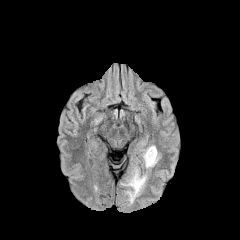
FLAIR magnetic resonance.
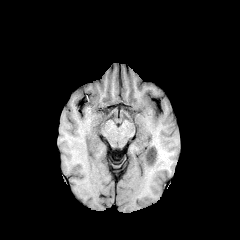
Same slice, T1-weighted MR image.
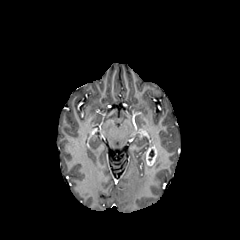
Post-contrast T1-weighted magnetic resonance.
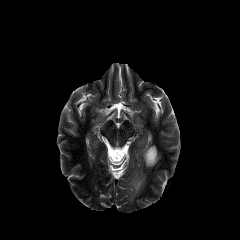
T2-weighted MRI of the same slice.
Image size 240x240
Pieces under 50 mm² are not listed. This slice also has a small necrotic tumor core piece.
The enhancing tumor is located at (145,146,157,165). The 2 largest peritumoral edema regions are bounded by (142,147,160,168), (122,167,146,202).